Slice index 134
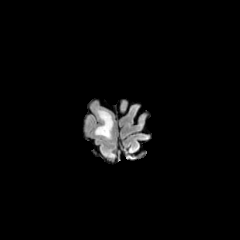
FLAIR MR image.
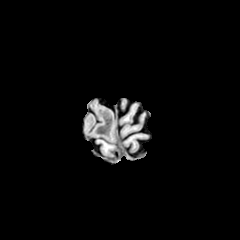
T1-weighted MRI.
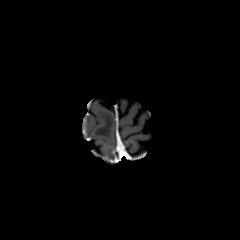
Post-contrast T1-weighted MR image.
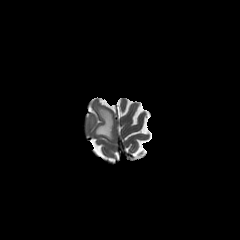
T2-weighted MR image.
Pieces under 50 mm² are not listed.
<segmentation>
  <peritumoral_edema>bbox(94, 107, 113, 139)</peritumoral_edema>
</segmentation>